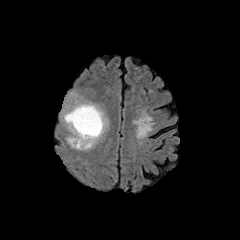
FLAIR MRI.
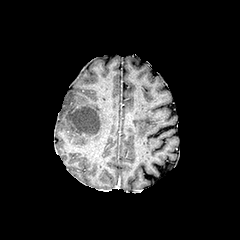
Same slice, T1-weighted magnetic resonance.
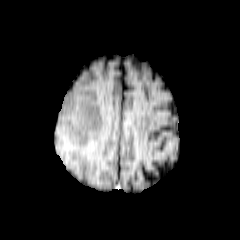
Post-contrast T1-weighted MRI.
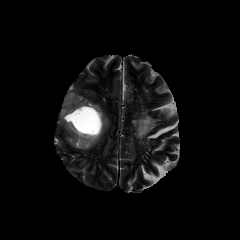
T2-weighted MRI of the same slice.
240x240; Head
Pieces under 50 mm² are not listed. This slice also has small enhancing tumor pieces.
peritumoral_edema:
  - 61 92 108 150
necrotic_tumor_core:
  - 65 106 101 135